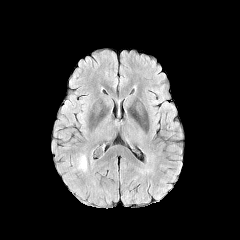
FLAIR MRI.
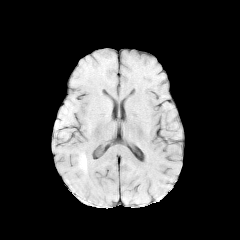
Same slice, T1-weighted MRI.
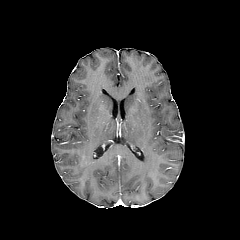
Post-contrast T1-weighted MR image.
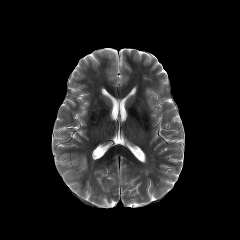
T2-weighted MR image of the same slice.
Axial plane
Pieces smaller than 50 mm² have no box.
The largest peritumoral edema region is located at 76,155,87,171.